FLAIR magnetic resonance.
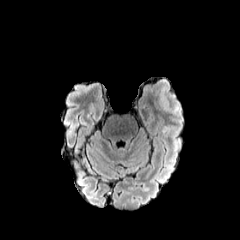
T1-weighted MR image.
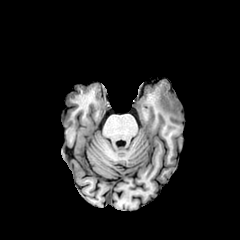
Post-contrast T1-weighted magnetic resonance.
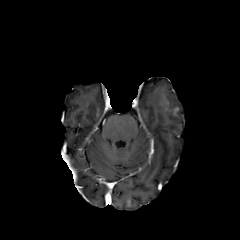
T2-weighted MRI.
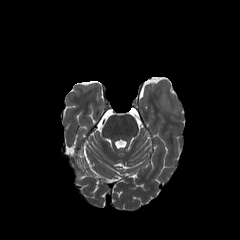
Brain
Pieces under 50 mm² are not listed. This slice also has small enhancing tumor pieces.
The peritumoral edema appears at 159 84 181 118.